Slice 73/155
FLAIR magnetic resonance.
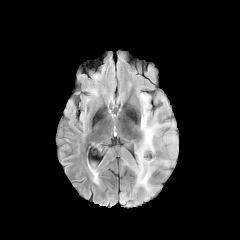
T1-weighted MRI.
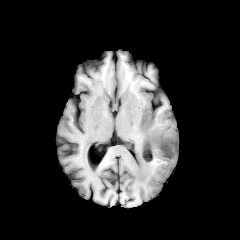
Post-contrast T1-weighted MR image.
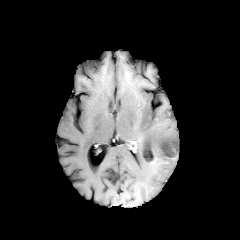
T2-weighted MR image.
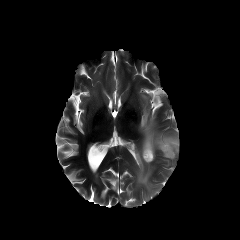
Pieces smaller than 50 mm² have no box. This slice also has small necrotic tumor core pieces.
Findings:
• enhancing tumor: <box>162,144,174,153</box>
• peritumoral edema: <box>135,103,177,190</box>